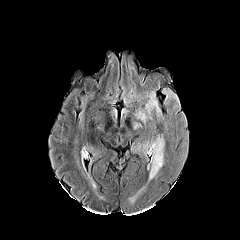
FLAIR magnetic resonance.
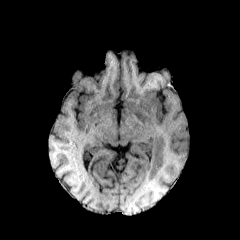
T1-weighted MRI.
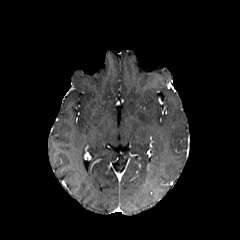
Post-contrast T1-weighted MRI.
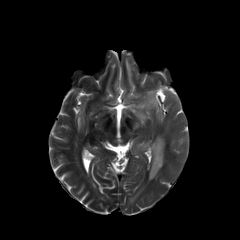
T2-weighted MRI of the same slice.
Axial plane
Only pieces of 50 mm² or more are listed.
<segmentation>
  <peritumoral_edema>rect(138, 113, 151, 122); rect(137, 136, 164, 180)</peritumoral_edema>
</segmentation>